Axial view | 240x240 px | Head | Image width 240 mm, 1.00 mm slice spacing
FLAIR MR.
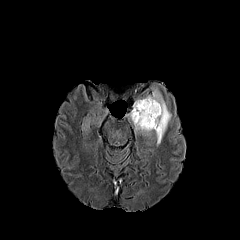
T1-weighted magnetic resonance.
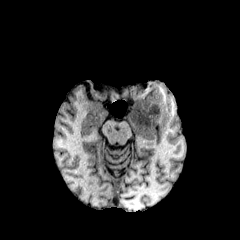
Post-contrast T1-weighted MR.
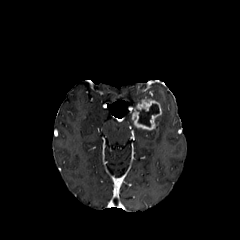
T2-weighted magnetic resonance.
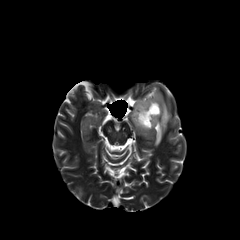
peritumoral edema: bbox(134, 87, 171, 145); bbox(127, 98, 141, 120)
enhancing tumor: bbox(132, 98, 161, 130)
necrotic tumor core: bbox(137, 104, 159, 126)